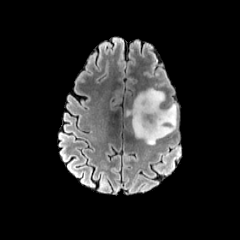
FLAIR MRI.
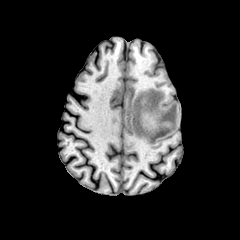
Same slice, T1-weighted magnetic resonance.
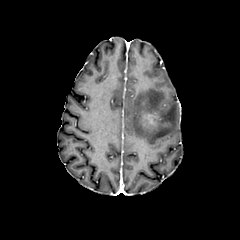
Same slice, post-contrast T1-weighted MRI.
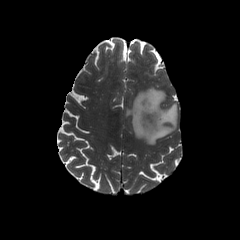
T2-weighted magnetic resonance.
Brain, Axial plane
The peritumoral edema appears at [126, 87, 177, 145]. The enhancing tumor appears at [145, 113, 158, 122].